Axial slice
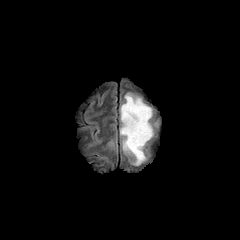
FLAIR magnetic resonance.
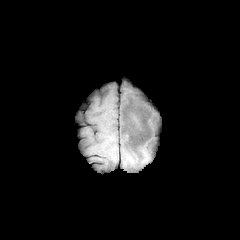
T1-weighted MR image.
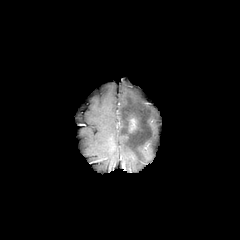
Same slice, post-contrast T1-weighted MR image.
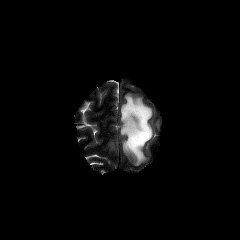
T2-weighted MRI of the same slice.
enhancing tumor: 129 119 135 131
peritumoral edema: 120 93 153 165